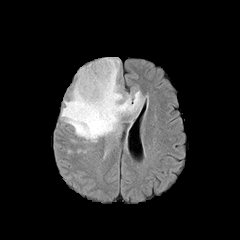
FLAIR MR image.
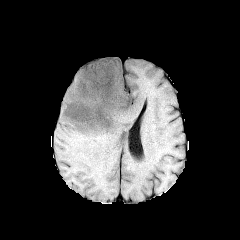
T1-weighted MR image.
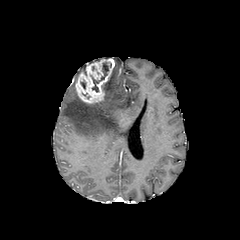
Same slice, post-contrast T1-weighted MRI.
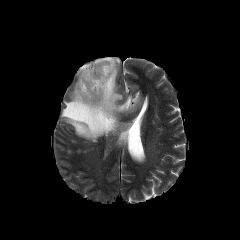
T2-weighted MRI.
240x240 px.
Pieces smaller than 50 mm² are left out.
{"peritumoral_edema": ["(x1=61, y1=57, x2=143, y2=142)"], "necrotic_tumor_core": ["(x1=92, y1=62, x2=108, y2=92)"], "enhancing_tumor": ["(x1=75, y1=57, x2=114, y2=104)"]}